Slice 65 of 155; Image covers 240 mm x 240 mm
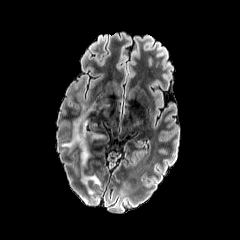
FLAIR MR.
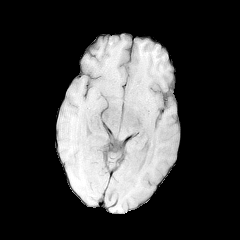
T1-weighted MR.
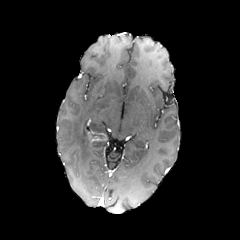
Post-contrast T1-weighted magnetic resonance.
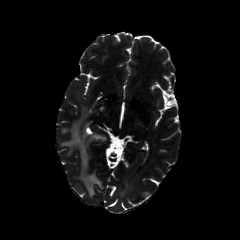
Same slice, T2-weighted MR.
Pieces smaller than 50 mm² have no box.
The 2 largest peritumoral edema regions are bounded by region(62, 106, 92, 167); region(85, 176, 100, 184). The enhancing tumor is located at region(89, 132, 107, 142).